240x240 px, Slice 55/155, Brain
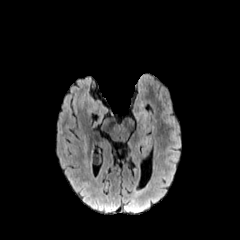
FLAIR MR image.
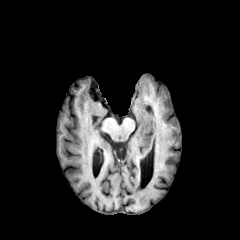
T1-weighted magnetic resonance.
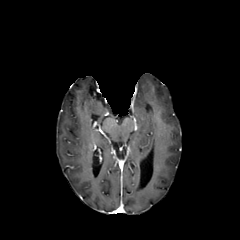
Post-contrast T1-weighted MR.
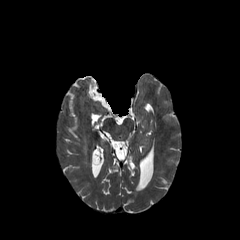
T2-weighted MR.
peritumoral edema: 83 140 88 165